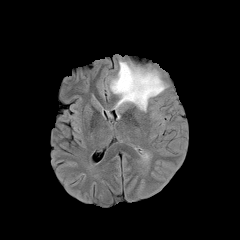
FLAIR MR image.
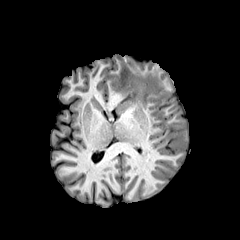
T1-weighted magnetic resonance of the same slice.
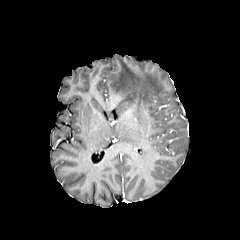
Same slice, post-contrast T1-weighted MR.
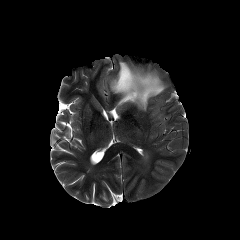
T2-weighted MR of the same slice.
Brain, Image size 240x240
The peritumoral edema appears at [110, 60, 173, 110].